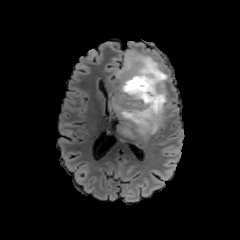
FLAIR MR image.
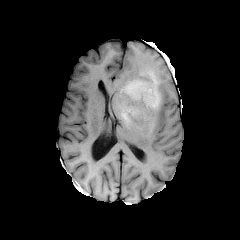
T1-weighted MR.
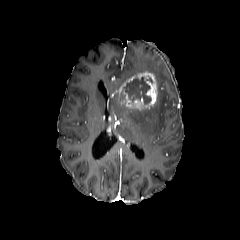
Post-contrast T1-weighted magnetic resonance.
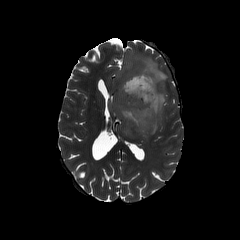
Same slice, T2-weighted MRI.
Head | 240x240 | Axial view
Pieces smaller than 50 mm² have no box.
enhancing tumor: box=[119, 71, 158, 108] | peritumoral edema: box=[112, 50, 168, 137] | necrotic tumor core: box=[123, 77, 151, 104]